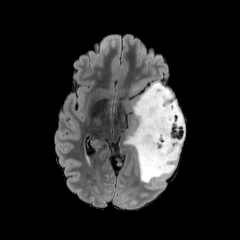
FLAIR magnetic resonance.
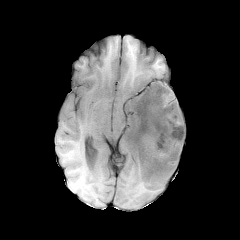
T1-weighted MR image.
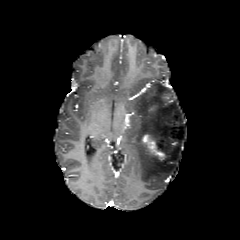
Same slice, post-contrast T1-weighted MRI.
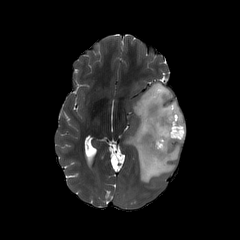
T2-weighted MRI of the same slice.
240x240 px | Brain
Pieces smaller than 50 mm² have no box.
enhancing_tumor:
  - left=142, top=134, right=164, bottom=159
peritumoral_edema:
  - left=126, top=82, right=185, bottom=183